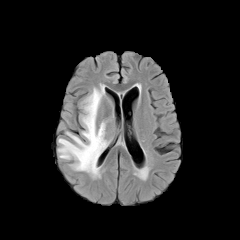
FLAIR MRI.
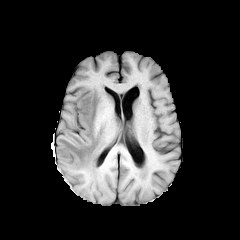
T1-weighted MR image.
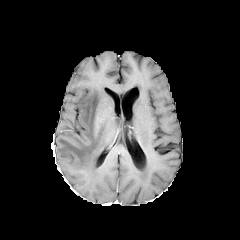
Same slice, post-contrast T1-weighted MR.
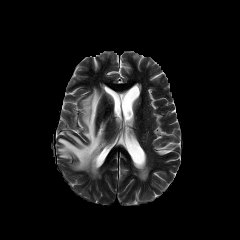
T2-weighted MR.
Axial slice
peritumoral_edema:
  - rect(58, 84, 107, 177)